FLAIR MR image.
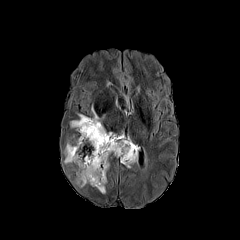
T1-weighted MR image.
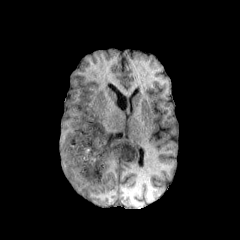
Post-contrast T1-weighted MRI.
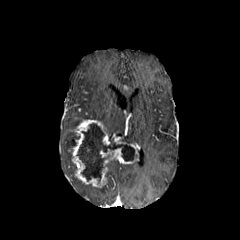
T2-weighted MR image.
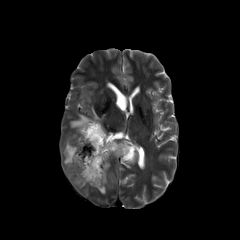
240x240 px, Head
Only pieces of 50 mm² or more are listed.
• peritumoral edema: x1=64 y1=142 x2=73 y2=164, x1=91 y1=107 x2=100 y2=120, x1=70 y1=114 x2=90 y2=127, x1=75 y1=178 x2=84 y2=187
• enhancing tumor: x1=69 y1=119 x2=138 y2=187
• necrotic tumor core: x1=77 y1=123 x2=136 y2=181